Slice 46/155. Brain.
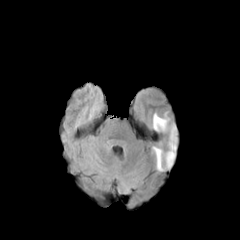
FLAIR MR.
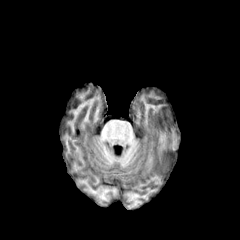
T1-weighted MRI of the same slice.
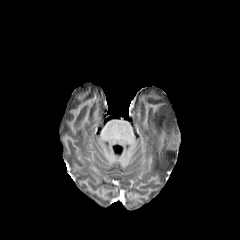
Post-contrast T1-weighted MR.
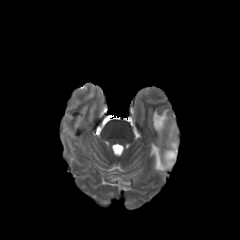
T2-weighted magnetic resonance.
peritumoral edema — rect(152, 113, 176, 171)